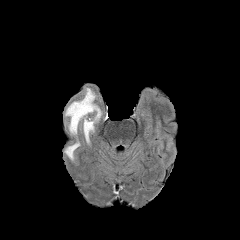
FLAIR MR image.
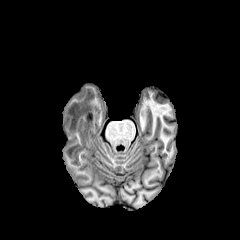
T1-weighted MR image.
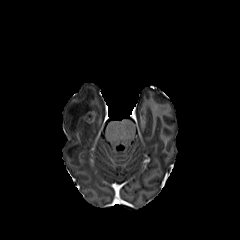
Post-contrast T1-weighted MR image of the same slice.
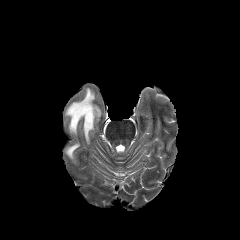
T2-weighted MR image.
240x240
Segmented structures:
* peritumoral edema: <bbox>65, 88, 101, 143</bbox>, <bbox>65, 143, 79, 159</bbox>
* enhancing tumor: <bbox>85, 111, 96, 123</bbox>